Brain | Axial view | Image size 240x240
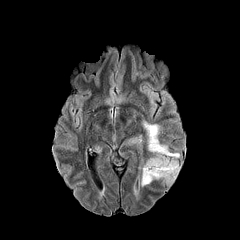
FLAIR MR.
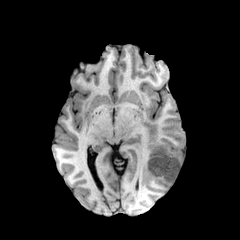
T1-weighted MR image.
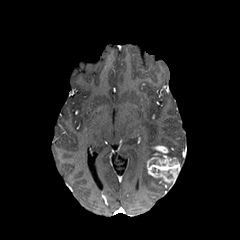
Same slice, post-contrast T1-weighted MRI.
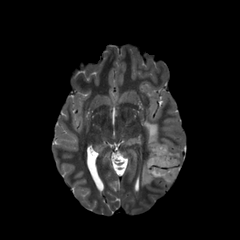
T2-weighted MRI of the same slice.
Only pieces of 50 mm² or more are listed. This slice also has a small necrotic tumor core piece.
enhancing tumor = left=146, top=145, right=180, bottom=184
peritumoral edema = left=165, top=151, right=180, bottom=157; left=143, top=122, right=160, bottom=153; left=141, top=162, right=155, bottom=186